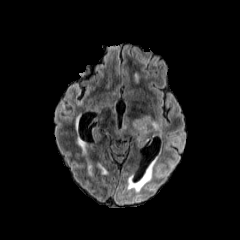
FLAIR magnetic resonance.
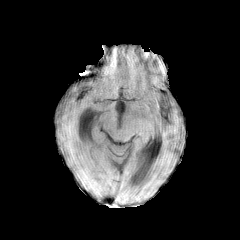
T1-weighted MR.
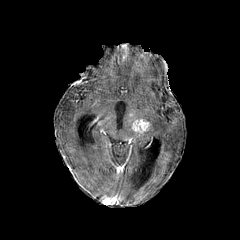
Same slice, post-contrast T1-weighted magnetic resonance.
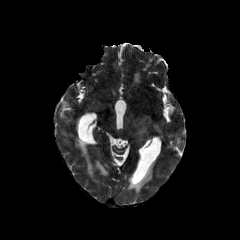
T2-weighted MR image.
Head.
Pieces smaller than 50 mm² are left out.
peritumoral edema = <box>106,113,158,139</box>
enhancing tumor = <box>128,119,150,132</box>